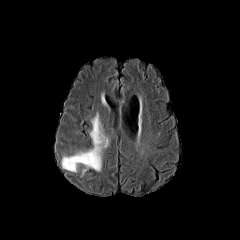
FLAIR MR.
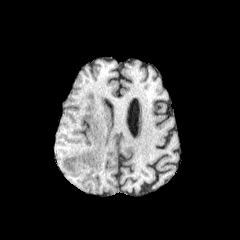
T1-weighted MRI.
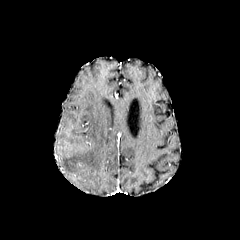
Post-contrast T1-weighted MR image of the same slice.
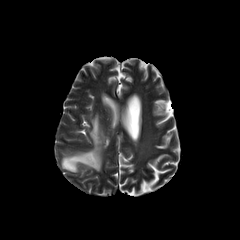
T2-weighted MR image.
Axial slice; Brain
Annotated regions:
- peritumoral edema: (x1=61, y1=114, x2=109, y2=173)